FLAIR MR.
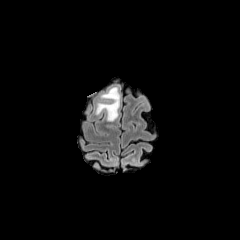
T1-weighted MRI.
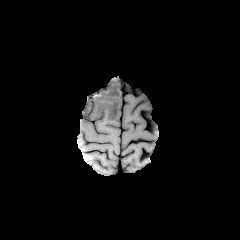
Post-contrast T1-weighted MRI.
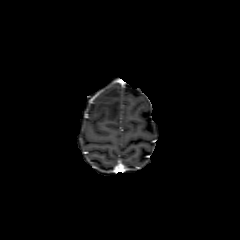
T2-weighted MRI.
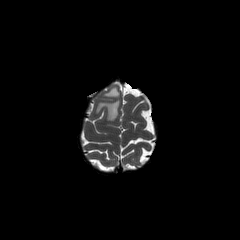
Image size 240x240; Head
- peritumoral edema: 95,86,120,121